Image width 240 mm, 1.00 mm slice spacing, Axial view, Slice 70 of 155
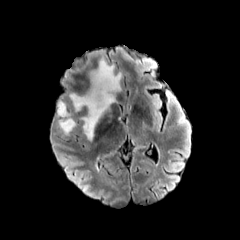
FLAIR MR.
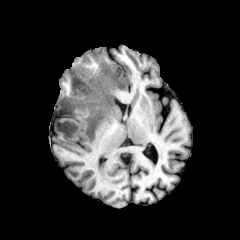
Same slice, T1-weighted MRI.
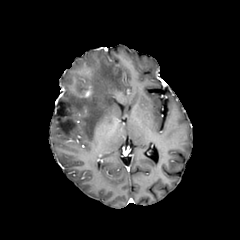
Post-contrast T1-weighted MRI.
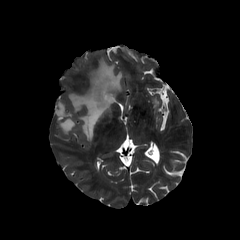
T2-weighted MR image.
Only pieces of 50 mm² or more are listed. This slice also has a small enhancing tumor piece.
3 peritumoral edema regions are located at bbox(57, 101, 69, 117); bbox(69, 58, 121, 140); bbox(59, 118, 75, 134).